FLAIR magnetic resonance.
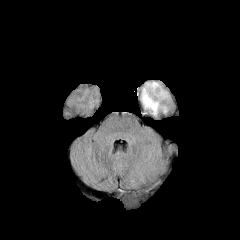
T1-weighted MRI.
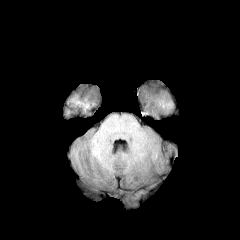
Post-contrast T1-weighted MR image.
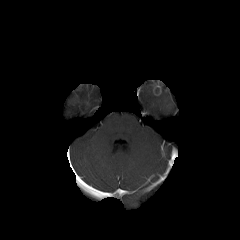
T2-weighted MR.
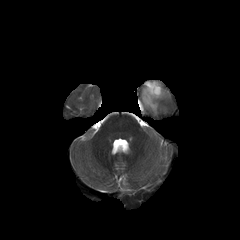
Axial plane
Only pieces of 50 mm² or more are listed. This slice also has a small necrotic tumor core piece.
{
  "enhancing_tumor": [
    "[150,81,161,95]"
  ],
  "peritumoral_edema": [
    "[141,82,169,115]"
  ]
}